Brain. Axial plane. Image covers 240 mm x 240 mm.
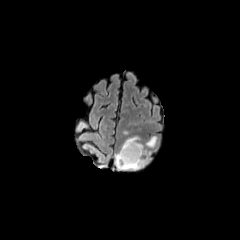
FLAIR MR image.
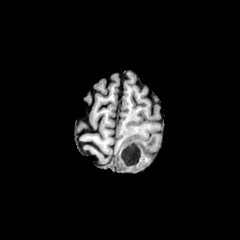
Same slice, T1-weighted MR image.
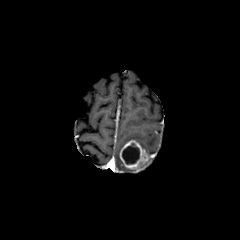
Post-contrast T1-weighted MR image of the same slice.
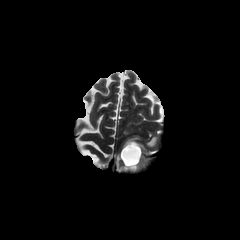
T2-weighted MR.
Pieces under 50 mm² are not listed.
Segmented structures:
• necrotic tumor core: region(122, 143, 139, 164)
• peritumoral edema: region(146, 136, 156, 147); region(122, 136, 139, 146); region(115, 152, 127, 170)
• enhancing tumor: region(119, 139, 150, 171)